FLAIR MRI.
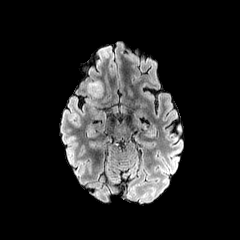
T1-weighted MR.
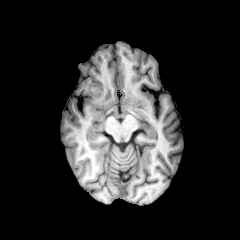
Post-contrast T1-weighted MR.
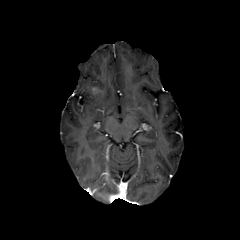
T2-weighted MRI.
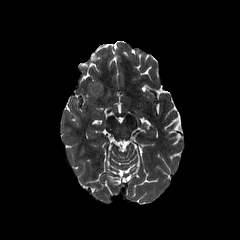
Axial slice. Brain.
{"enhancing_tumor": ["l=90, t=86, r=102, b=95"], "peritumoral_edema": ["l=87, t=81, r=103, b=97"]}